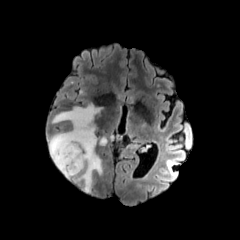
FLAIR MR.
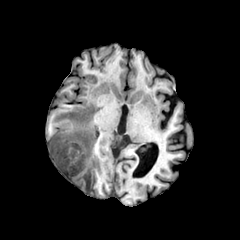
T1-weighted MR image.
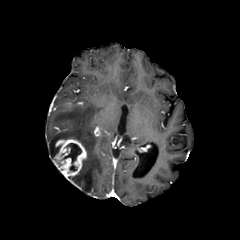
Post-contrast T1-weighted MR.
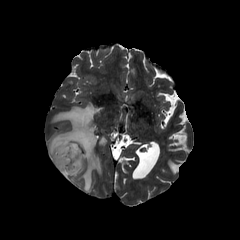
Same slice, T2-weighted MR.
Axial slice; Head
{"enhancing_tumor": ["<bbox>53, 138, 86, 178</bbox>"], "necrotic_tumor_core": ["<bbox>62, 143, 81, 171</bbox>"], "peritumoral_edema": ["<bbox>99, 137, 106, 145</bbox>", "<bbox>49, 103, 102, 191</bbox>"]}